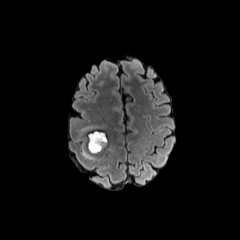
FLAIR magnetic resonance.
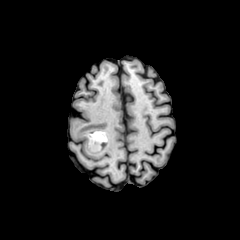
T1-weighted MR.
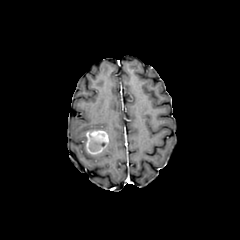
Same slice, post-contrast T1-weighted MR.
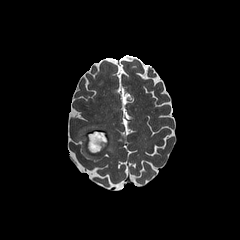
T2-weighted magnetic resonance.
• necrotic tumor core: region(90, 142, 104, 150)
• enhancing tumor: region(86, 130, 108, 154)
• peritumoral edema: region(82, 150, 93, 159); region(81, 126, 93, 133)